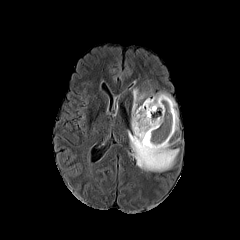
FLAIR MRI.
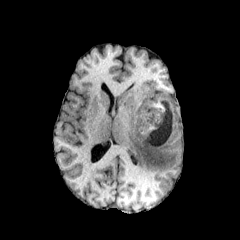
Same slice, T1-weighted MR image.
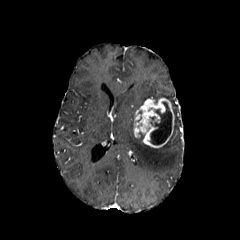
Same slice, post-contrast T1-weighted MR image.
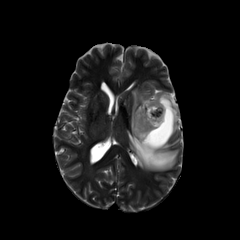
T2-weighted MR image.
240x240. Axial slice.
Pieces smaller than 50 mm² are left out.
necrotic tumor core: bounding box [150,102,171,144]
peritumoral edema: bounding box [127,131,179,171], [131,88,149,130], [152,93,178,134]
enhancing tumor: bounding box [133,97,174,148]